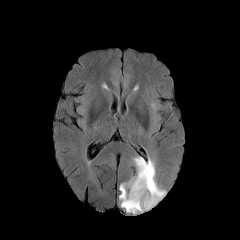
FLAIR MR image.
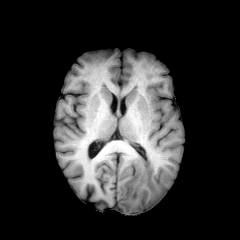
T1-weighted MR of the same slice.
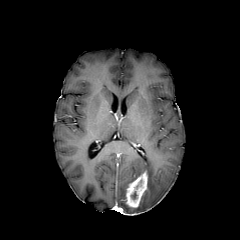
Post-contrast T1-weighted MR image of the same slice.
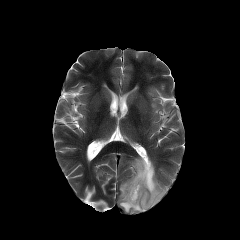
T2-weighted magnetic resonance.
Head | Axial slice
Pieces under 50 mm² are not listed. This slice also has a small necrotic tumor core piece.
enhancing tumor: 125,171,147,208
peritumoral edema: 119,157,165,212